Axial slice, Slice 110 of 155, Image width 240 mm
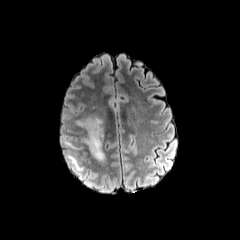
FLAIR MR image.
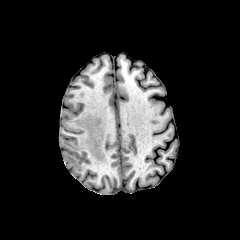
T1-weighted magnetic resonance of the same slice.
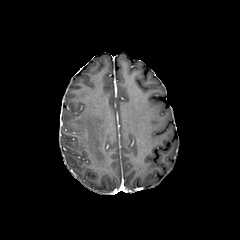
Same slice, post-contrast T1-weighted MR.
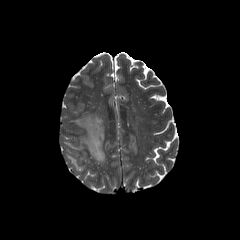
T2-weighted magnetic resonance.
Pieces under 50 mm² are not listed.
peritumoral_edema:
  - <bbox>76, 117, 104, 161</bbox>
  - <bbox>67, 154, 83, 171</bbox>